240x240 px; Axial slice
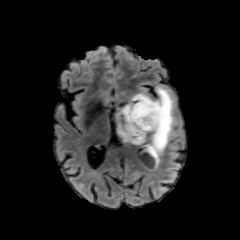
FLAIR MR image.
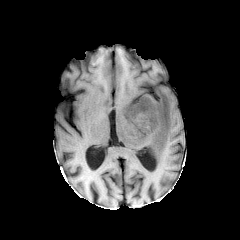
T1-weighted MR image.
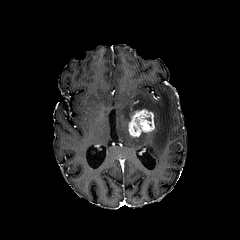
Post-contrast T1-weighted magnetic resonance.
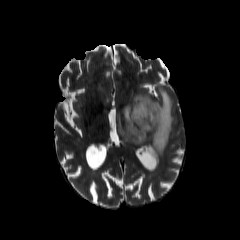
T2-weighted MRI of the same slice.
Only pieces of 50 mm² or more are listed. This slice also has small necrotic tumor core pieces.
peritumoral edema: [x1=114, y1=86, x2=174, y2=171] | enhancing tumor: [x1=128, y1=109, x2=155, y2=137]